Axial view, Slice 41 of 155, Head
FLAIR magnetic resonance.
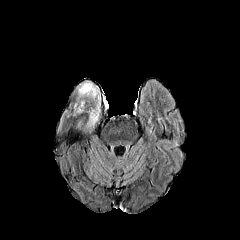
T1-weighted MR.
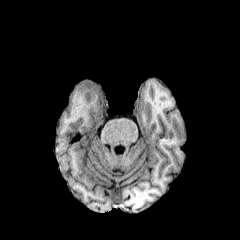
Post-contrast T1-weighted MR.
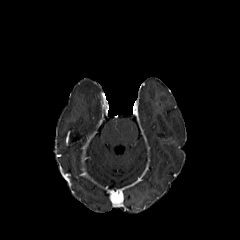
T2-weighted magnetic resonance.
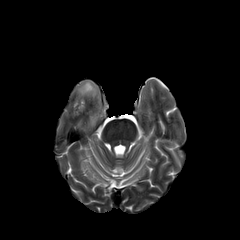
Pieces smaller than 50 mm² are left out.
peritumoral edema = <bbox>77, 81, 100, 123</bbox>, <bbox>76, 100, 84, 112</bbox>